FLAIR MRI.
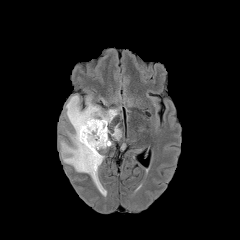
T1-weighted magnetic resonance.
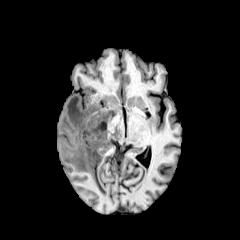
Post-contrast T1-weighted MR image.
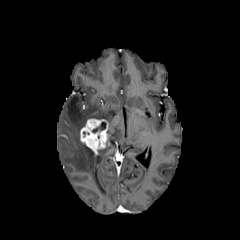
T2-weighted magnetic resonance.
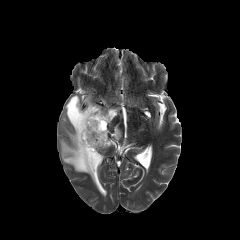
Image size 240x240 | Brain
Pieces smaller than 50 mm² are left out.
The 2 largest peritumoral edema regions appear at region(61, 95, 117, 194); region(111, 125, 121, 139). The enhancing tumor lies within region(80, 118, 109, 154). The largest necrotic tumor core region is at region(92, 122, 106, 132).